FLAIR MRI.
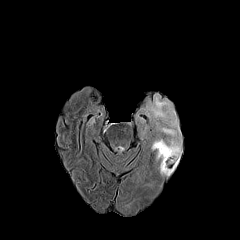
T1-weighted magnetic resonance.
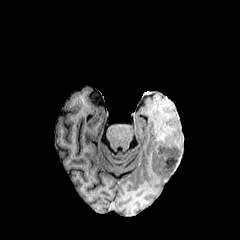
Post-contrast T1-weighted MR image.
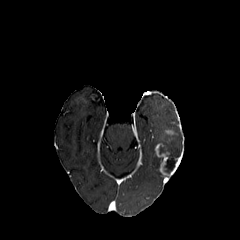
T2-weighted MR image.
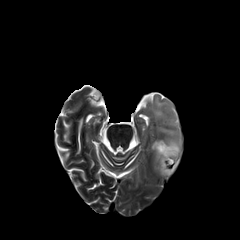
Axial view
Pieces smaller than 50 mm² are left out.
The largest enhancing tumor region is bounded by [x1=155, y1=143, x2=180, y2=177]. The largest peritumoral edema region appears at [x1=148, y1=96, x2=181, y2=156]. The largest necrotic tumor core region is at [x1=160, y1=146, x2=179, y2=173].